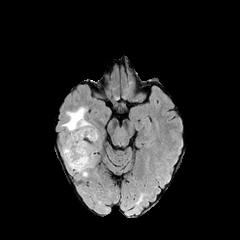
FLAIR MRI.
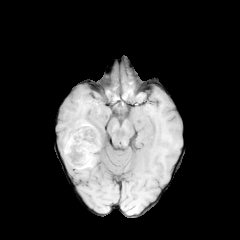
Same slice, T1-weighted MRI.
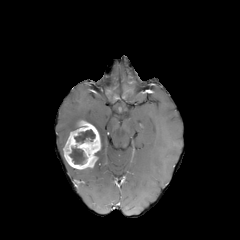
Same slice, post-contrast T1-weighted MR image.
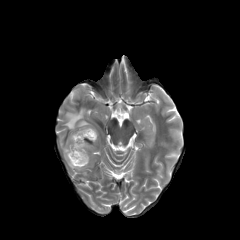
Same slice, T2-weighted MRI.
Axial plane
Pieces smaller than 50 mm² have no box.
2 necrotic tumor core regions are bounded by (74, 129, 95, 142), (69, 147, 86, 164). The 2 largest peritumoral edema regions appear at (75, 168, 89, 176), (62, 107, 87, 131). The enhancing tumor appears at (63, 120, 100, 169).